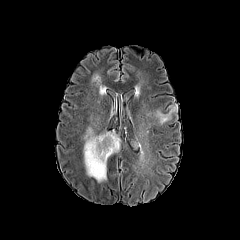
FLAIR MR.
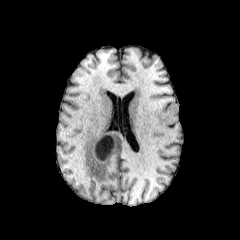
Same slice, T1-weighted MR.
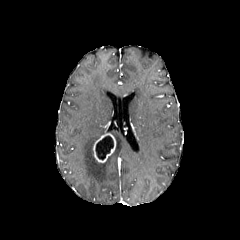
Post-contrast T1-weighted MR.
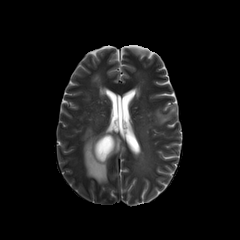
T2-weighted MR image of the same slice.
Axial slice | Head
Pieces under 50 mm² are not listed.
enhancing tumor: {"x1": 93, "y1": 133, "x2": 115, "y2": 162}
necrotic tumor core: {"x1": 96, "y1": 136, "x2": 113, "y2": 159}
peritumoral edema: {"x1": 111, "y1": 132, "x2": 120, "y2": 152}, {"x1": 154, "y1": 105, "x2": 177, "y2": 124}, {"x1": 83, "y1": 127, "x2": 106, "y2": 182}